FLAIR magnetic resonance.
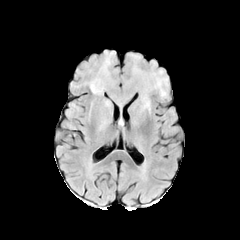
T1-weighted MRI.
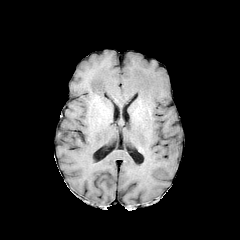
Post-contrast T1-weighted MR.
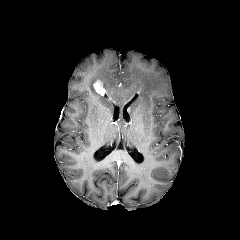
T2-weighted MRI.
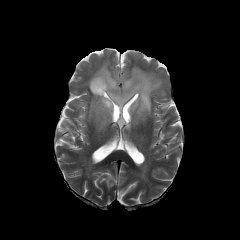
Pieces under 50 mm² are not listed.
enhancing_tumor:
  - (x1=93, y1=79, x2=106, y2=95)
peritumoral_edema:
  - (x1=88, y1=55, x2=167, y2=115)
  - (x1=99, y1=117, x2=108, y2=128)